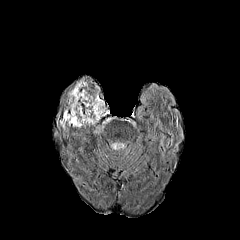
FLAIR magnetic resonance.
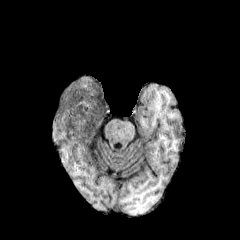
Same slice, T1-weighted MRI.
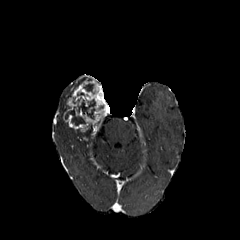
Post-contrast T1-weighted MRI.
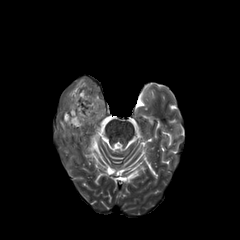
T2-weighted MRI.
Image size 240x240
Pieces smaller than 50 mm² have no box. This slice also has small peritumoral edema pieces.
* necrotic tumor core: x1=78, y1=99, x2=95, y2=118; x1=84, y1=84, x2=93, y2=91; x1=65, y1=107, x2=85, y2=125
* enhancing tumor: x1=63, y1=79, x2=109, y2=132